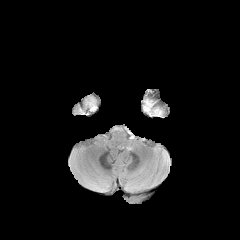
FLAIR MRI.
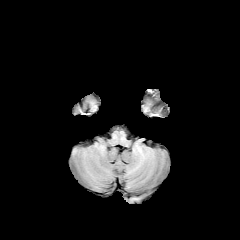
T1-weighted MRI.
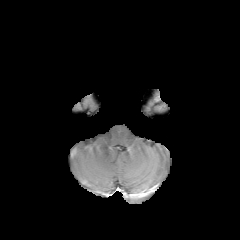
Post-contrast T1-weighted MR image.
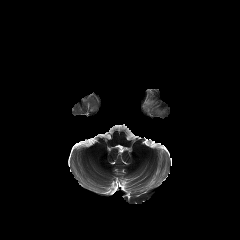
T2-weighted MRI.
Image size 240x240. Brain.
peritumoral edema: 144, 99, 162, 114